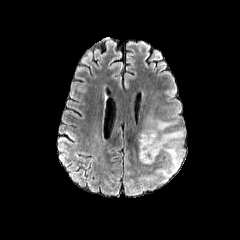
FLAIR MR image.
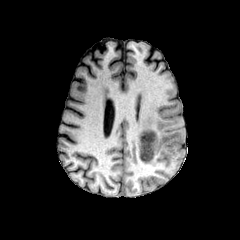
Same slice, T1-weighted MR.
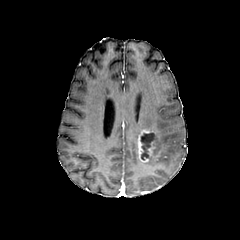
Post-contrast T1-weighted magnetic resonance of the same slice.
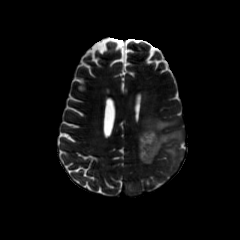
T2-weighted MR.
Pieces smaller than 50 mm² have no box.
The necrotic tumor core is at left=140, top=133, right=155, bottom=159. The largest peritumoral edema region is located at left=143, top=114, right=184, bottom=171. The enhancing tumor is bounded by left=137, top=128, right=159, bottom=162.